FLAIR MR image.
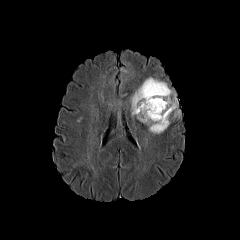
T1-weighted MR.
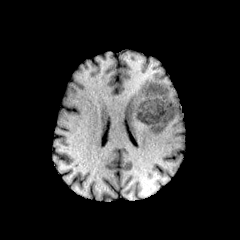
Post-contrast T1-weighted magnetic resonance.
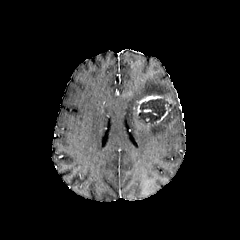
T2-weighted magnetic resonance.
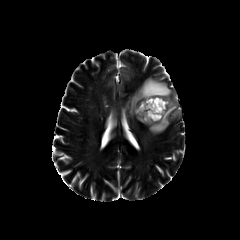
Axial plane, Brain
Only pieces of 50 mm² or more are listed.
necrotic tumor core: bbox=[138, 98, 168, 124] | enhancing tumor: bbox=[136, 95, 175, 116]; bbox=[154, 104, 171, 124] | peritumoral edema: bbox=[130, 77, 180, 134]